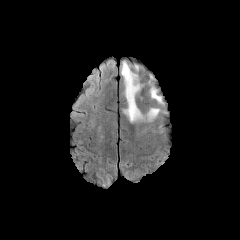
FLAIR MR image.
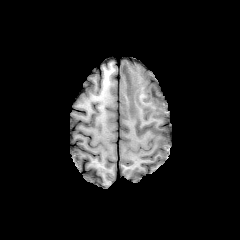
T1-weighted MR image.
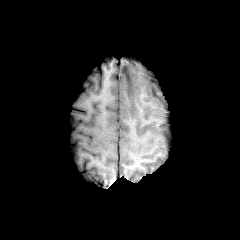
Same slice, post-contrast T1-weighted magnetic resonance.
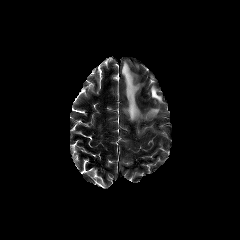
T2-weighted MR image.
Head
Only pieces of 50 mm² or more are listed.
{
  "peritumoral_edema": [
    "121, 61, 142, 121",
    "147, 108, 159, 120",
    "150, 86, 162, 103"
  ]
}